FLAIR magnetic resonance.
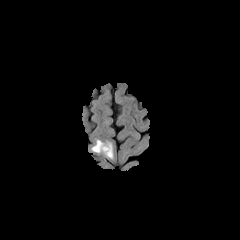
T1-weighted MR image.
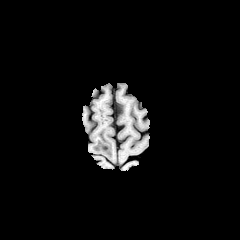
Post-contrast T1-weighted MR image.
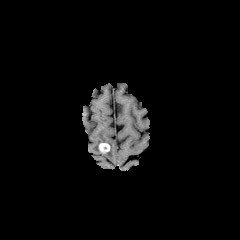
T2-weighted MR.
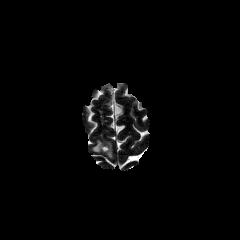
enhancing tumor: (98, 143, 110, 153)
peritumoral edema: (91, 139, 113, 158)